Image width 240 mm, Brain
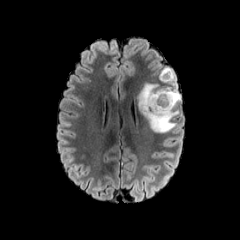
FLAIR MRI.
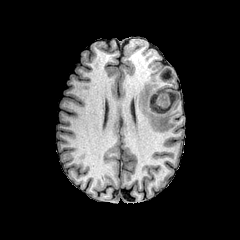
Same slice, T1-weighted MR image.
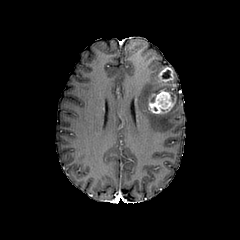
Post-contrast T1-weighted MR.
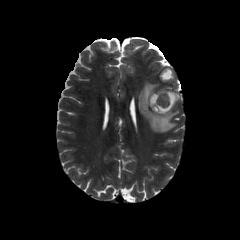
T2-weighted MR.
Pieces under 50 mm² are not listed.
necrotic tumor core at rect(162, 70, 170, 78)
enhancing tumor at rect(145, 90, 176, 115); rect(159, 67, 173, 81)
peritumoral edema at rect(136, 71, 180, 132)